FLAIR MRI.
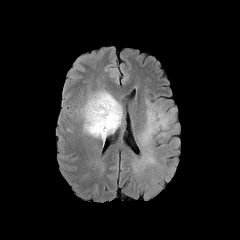
T1-weighted MRI.
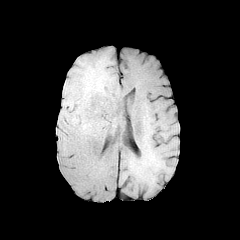
Post-contrast T1-weighted MR image.
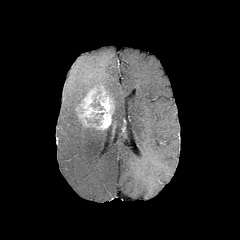
T2-weighted MRI.
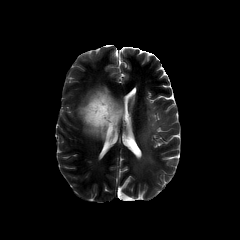
Head. Image size 240x240.
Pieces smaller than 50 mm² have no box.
The 3 largest peritumoral edema regions are located at x1=131 y1=99 x2=179 y2=173, x1=79 y1=89 x2=122 y2=137, x1=172 y1=139 x2=178 y2=155. The largest necrotic tumor core region appears at x1=91 y1=99 x2=103 y2=109. The enhancing tumor lies within x1=79 y1=90 x2=113 y2=129.